FLAIR MR image.
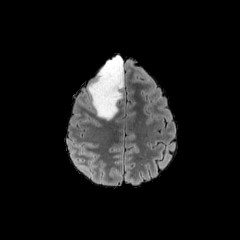
T1-weighted magnetic resonance.
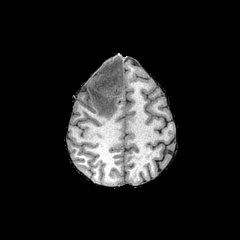
Post-contrast T1-weighted MR.
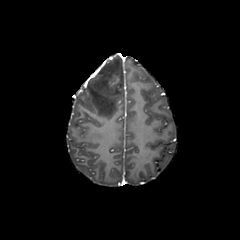
T2-weighted MR.
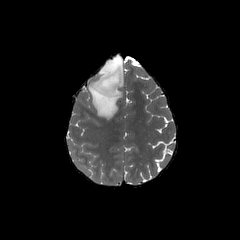
Annotated regions:
• peritumoral edema: bbox(88, 55, 124, 120)
• enhancing tumor: bbox(109, 76, 118, 85)